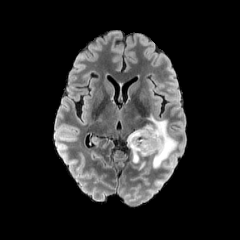
FLAIR MRI.
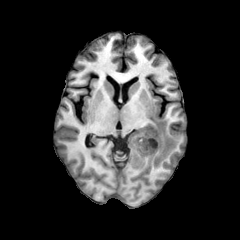
T1-weighted MR of the same slice.
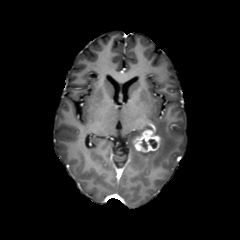
Post-contrast T1-weighted magnetic resonance.
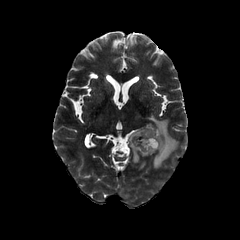
T2-weighted MR image.
240x240 px.
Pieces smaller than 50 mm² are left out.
necrotic_tumor_core:
  - box(148, 139, 157, 148)
peritumoral_edema:
  - box(127, 113, 177, 169)
enhancing_tumor:
  - box(133, 129, 161, 152)